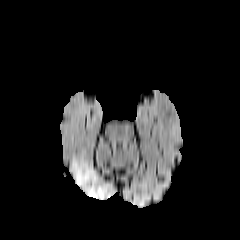
FLAIR MR.
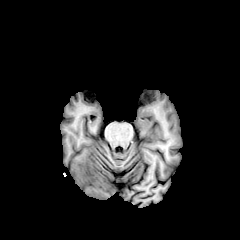
Same slice, T1-weighted MRI.
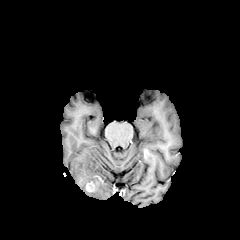
Same slice, post-contrast T1-weighted MR image.
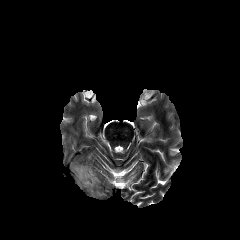
T2-weighted MR.
Axial view, 240x240 px, Head
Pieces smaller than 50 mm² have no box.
<segmentation>
  <enhancing_tumor>region(85, 181, 94, 191)</enhancing_tumor>
  <peritumoral_edema>region(73, 161, 111, 198)</peritumoral_edema>
</segmentation>